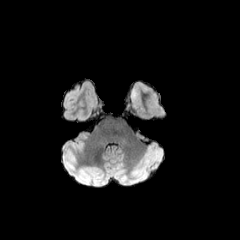
FLAIR MR.
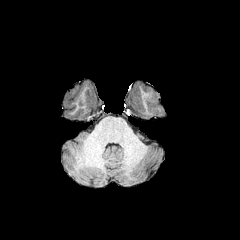
Same slice, T1-weighted MR image.
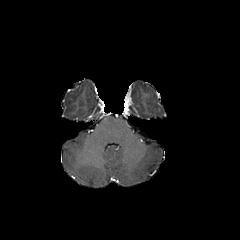
Post-contrast T1-weighted MRI.
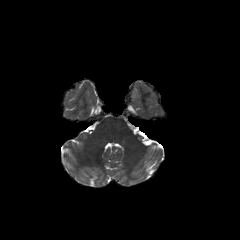
Same slice, T2-weighted MR image.
Brain. Axial view.
peritumoral edema: bounding box 130,82,151,100